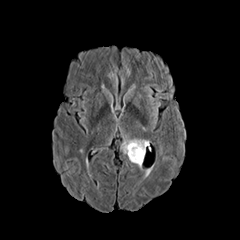
FLAIR MRI.
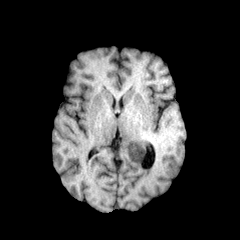
T1-weighted MRI of the same slice.
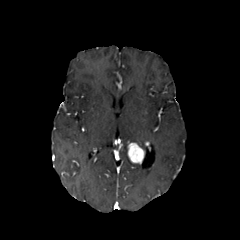
Same slice, post-contrast T1-weighted MR.
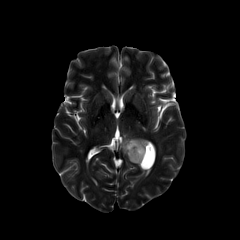
T2-weighted magnetic resonance.
Axial view
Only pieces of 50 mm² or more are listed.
<segmentation>
  <enhancing_tumor>bbox(127, 141, 145, 164)</enhancing_tumor>
  <peritumoral_edema>bbox(122, 139, 147, 154)</peritumoral_edema>
</segmentation>